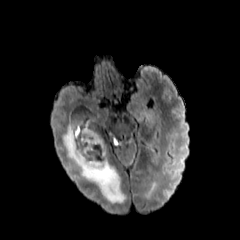
FLAIR MR.
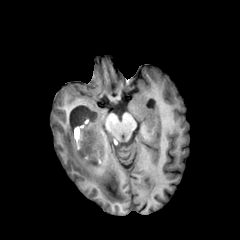
T1-weighted magnetic resonance.
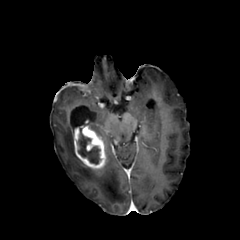
Same slice, post-contrast T1-weighted MR image.
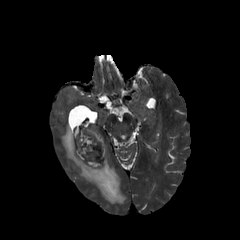
T2-weighted MRI of the same slice.
Image size 240x240, Head
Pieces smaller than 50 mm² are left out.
peritumoral_edema:
  - [62, 122, 125, 203]
necrotic_tumor_core:
  - [78, 129, 99, 164]
enhancing_tumor:
  - [73, 121, 106, 170]